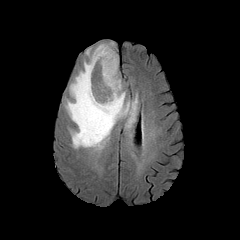
FLAIR MR image.
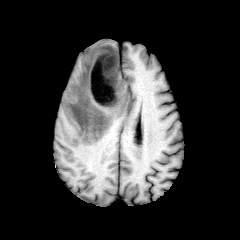
Same slice, T1-weighted magnetic resonance.
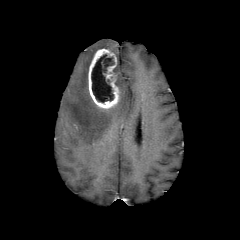
Post-contrast T1-weighted MR image.
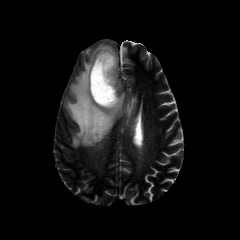
T2-weighted MR.
Axial plane
enhancing tumor: bounding box bbox=[88, 48, 120, 109]
necrotic tumor core: bounding box bbox=[91, 54, 114, 102]
peritumoral edema: bounding box bbox=[65, 42, 137, 149]